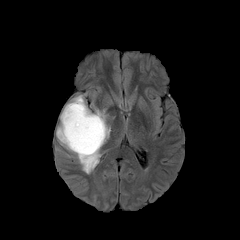
FLAIR MR image.
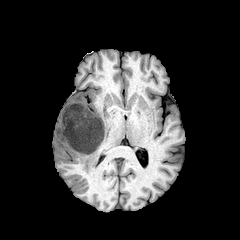
T1-weighted magnetic resonance.
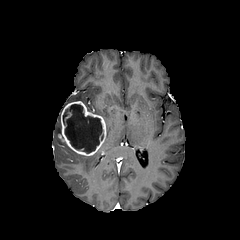
Post-contrast T1-weighted MR image of the same slice.
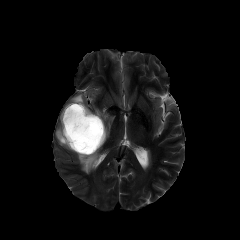
Same slice, T2-weighted MRI.
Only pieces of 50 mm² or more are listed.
* peritumoral edema: 69:94:85:104, 56:122:99:173, 95:109:110:141
* enhancing tumor: 58:101:106:155
* necrotic tumor core: 63:104:102:153